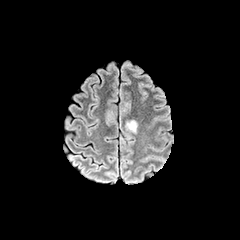
FLAIR MRI.
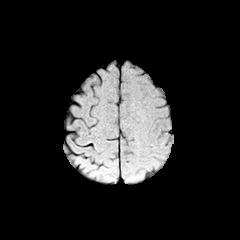
Same slice, T1-weighted MR.
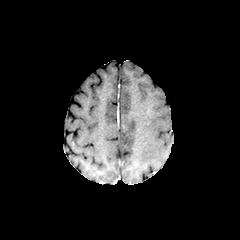
Same slice, post-contrast T1-weighted magnetic resonance.
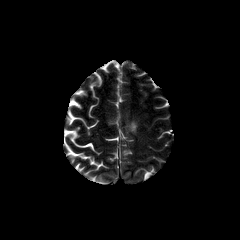
T2-weighted magnetic resonance of the same slice.
• peritumoral edema: 126, 120, 137, 132